Brain.
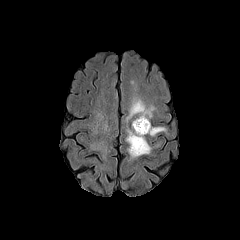
FLAIR MR image.
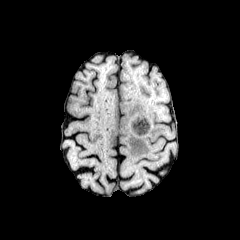
T1-weighted MR image.
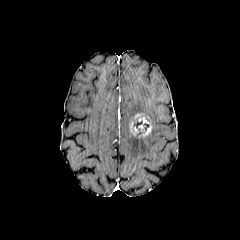
Post-contrast T1-weighted MRI.
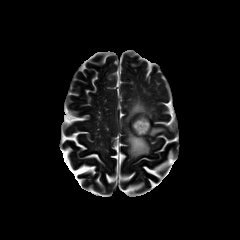
Same slice, T2-weighted MR.
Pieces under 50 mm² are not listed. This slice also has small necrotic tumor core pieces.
3 peritumoral edema regions appear at (149, 127, 165, 135), (126, 98, 154, 121), (126, 129, 150, 158). The enhancing tumor is at (130, 113, 152, 137).